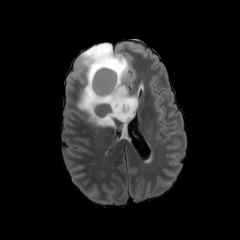
FLAIR magnetic resonance.
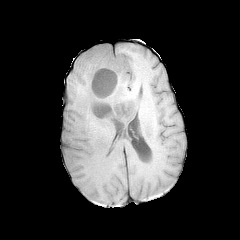
Same slice, T1-weighted MRI.
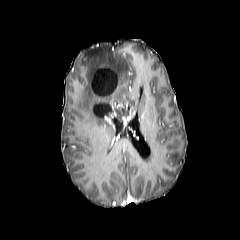
Same slice, post-contrast T1-weighted MR.
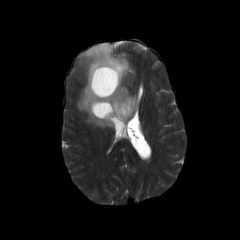
T2-weighted MR.
Image size 240x240; Brain; Axial slice
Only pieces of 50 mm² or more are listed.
Annotated regions:
* peritumoral edema: {"x1": 76, "y1": 43, "x2": 137, "y2": 127}
* enhancing tumor: {"x1": 122, "y1": 107, "x2": 134, "y2": 131}, {"x1": 104, "y1": 116, "x2": 115, "y2": 127}
* necrotic tumor core: {"x1": 93, "y1": 104, "x2": 110, "y2": 117}, {"x1": 92, "y1": 68, "x2": 117, "y2": 95}